FLAIR MR.
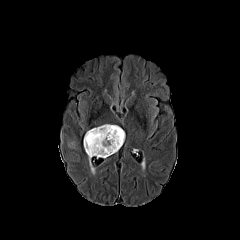
T1-weighted MR image.
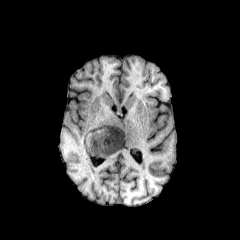
Post-contrast T1-weighted magnetic resonance.
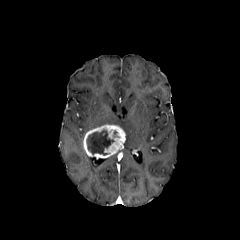
T2-weighted magnetic resonance.
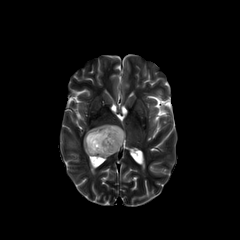
Axial slice | Head
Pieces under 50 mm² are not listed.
Segmented structures:
- enhancing tumor: x1=83, y1=124, x2=125, y2=158
- peritumoral edema: x1=68, y1=141, x2=75, y2=148; x1=88, y1=156, x2=95, y2=174
- necrotic tumor core: x1=87, y1=130, x2=114, y2=155